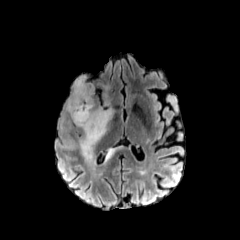
FLAIR magnetic resonance.
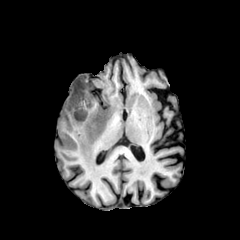
T1-weighted MR.
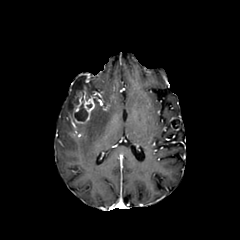
Post-contrast T1-weighted magnetic resonance.
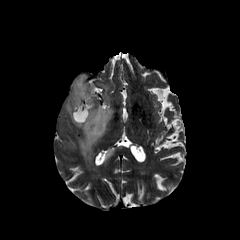
Same slice, T2-weighted MR image.
Head. Image size 240x240.
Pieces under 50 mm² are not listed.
necrotic tumor core: bounding box (x1=74, y1=103, x2=87, y2=121)
peritumoral edema: bounding box (x1=73, y1=84, x2=113, y2=160), (x1=65, y1=75, x2=95, y2=121), (x1=105, y1=149, x2=114, y2=160)
enhancing tumor: bounding box (x1=71, y1=86, x2=97, y2=124)